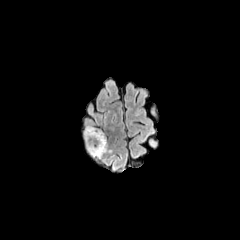
FLAIR MR.
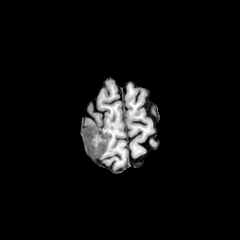
T1-weighted MR image of the same slice.
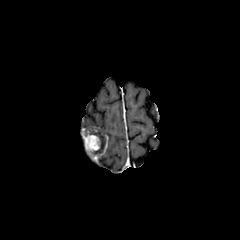
Post-contrast T1-weighted magnetic resonance.
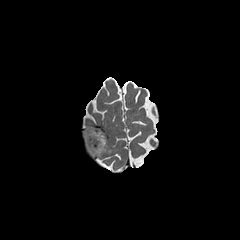
T2-weighted MR.
Axial slice. Head.
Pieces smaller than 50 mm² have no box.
The largest necrotic tumor core region is located at 94:136:105:154. The largest peritumoral edema region is bounded by 84:126:95:135. The enhancing tumor appears at 85:130:108:157.